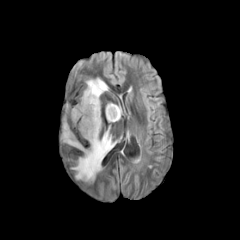
FLAIR MR.
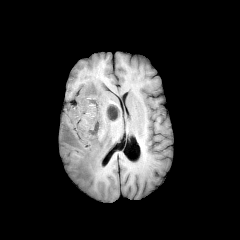
T1-weighted MRI.
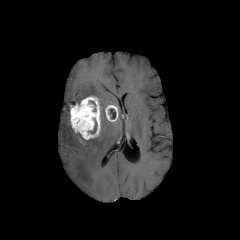
Post-contrast T1-weighted MR image.
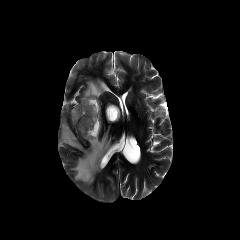
T2-weighted MR image of the same slice.
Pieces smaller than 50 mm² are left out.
enhancing tumor: 70,96,100,139; 105,105,118,121
peritumoral edema: 81,78,107,100; 61,118,114,182
necrotic tumor core: 109,109,115,118